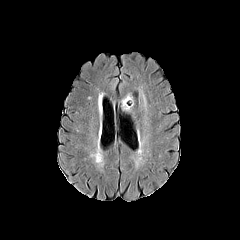
FLAIR MR image.
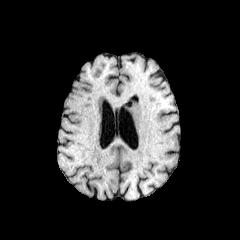
T1-weighted MRI of the same slice.
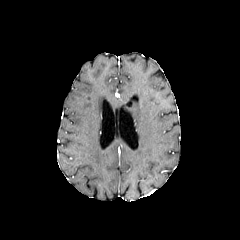
Post-contrast T1-weighted magnetic resonance of the same slice.
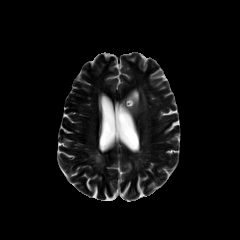
T2-weighted MR of the same slice.
Axial plane. 240x240 px. Brain.
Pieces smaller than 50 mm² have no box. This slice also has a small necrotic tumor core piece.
The peritumoral edema is bounded by rect(121, 94, 133, 110).